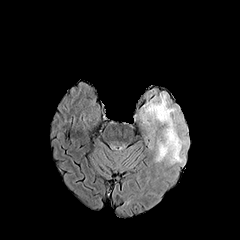
FLAIR magnetic resonance.
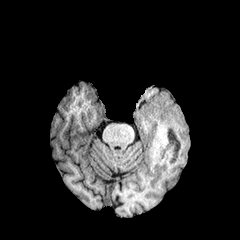
T1-weighted magnetic resonance.
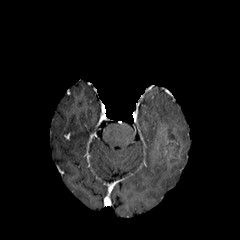
Post-contrast T1-weighted MRI.
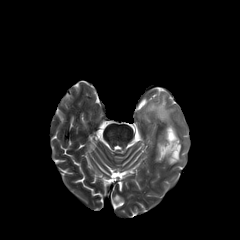
T2-weighted MR.
Brain; Axial view
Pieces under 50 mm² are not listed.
The largest peritumoral edema region is bounded by box(143, 93, 186, 164). The largest enhancing tumor region lies within box(166, 138, 178, 147). The largest necrotic tumor core region is located at box(167, 129, 176, 140).